Head. Axial slice. 240x240. Image width 240 mm. Slice 87 of 155.
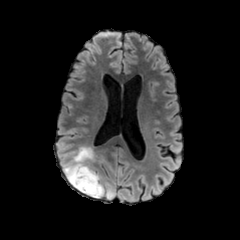
FLAIR magnetic resonance.
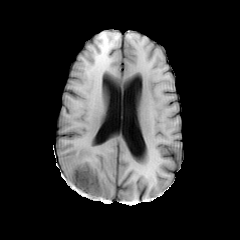
T1-weighted MR image.
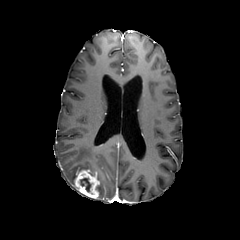
Post-contrast T1-weighted magnetic resonance.
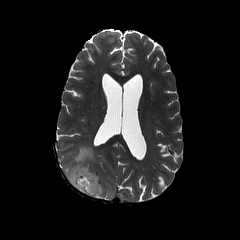
Same slice, T2-weighted MR.
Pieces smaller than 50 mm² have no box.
The enhancing tumor is bounded by x1=73 y1=169 x2=99 y2=198. The necrotic tumor core lies within x1=80 y1=178 x2=91 y2=192. The 2 largest peritumoral edema regions are bounded by x1=98 y1=182 x2=114 y2=199, x1=63 y1=146 x2=95 y2=186.